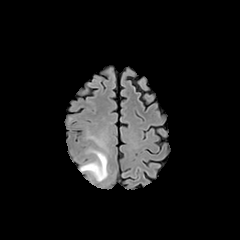
FLAIR MR.
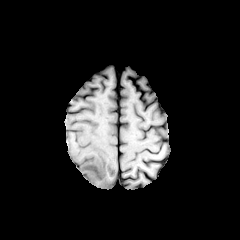
T1-weighted MR of the same slice.
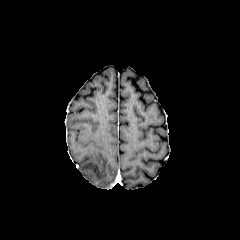
Same slice, post-contrast T1-weighted MRI.
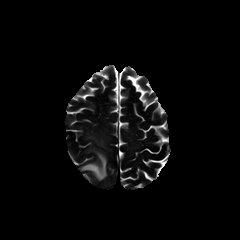
Same slice, T2-weighted magnetic resonance.
Axial plane. 240x240 px.
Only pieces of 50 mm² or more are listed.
The largest peritumoral edema region lies within left=80, top=150, right=107, bottom=181.